FLAIR MR image.
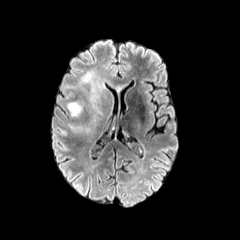
T1-weighted magnetic resonance.
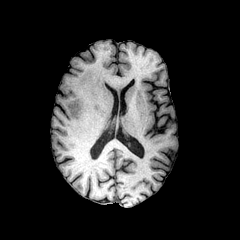
Post-contrast T1-weighted MR image.
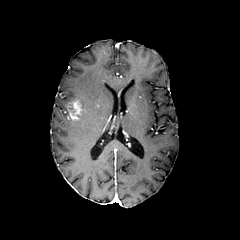
T2-weighted MR.
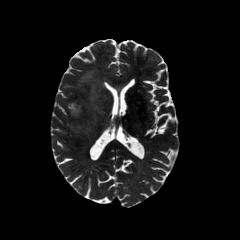
Head
The peritumoral edema appears at [66,58,126,136]. The enhancing tumor lies within [66,99,82,120].